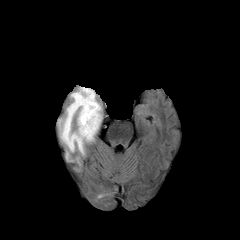
FLAIR MR image.
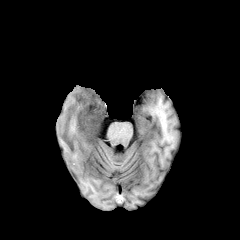
T1-weighted MR.
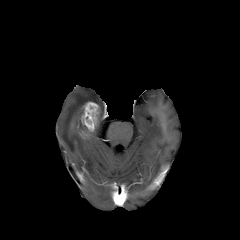
Post-contrast T1-weighted MRI.
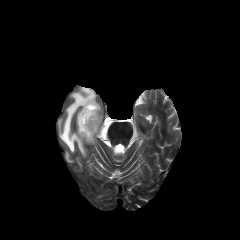
T2-weighted MR image.
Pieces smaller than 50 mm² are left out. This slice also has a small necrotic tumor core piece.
{
  "peritumoral_edema": [
    "region(58, 87, 102, 156)"
  ],
  "enhancing_tumor": [
    "region(77, 101, 103, 139)"
  ]
}